Brain | Axial view
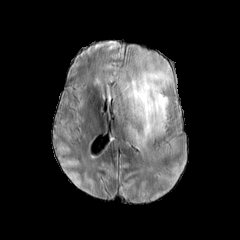
FLAIR MR image.
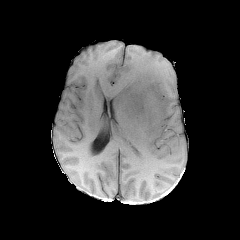
T1-weighted MR.
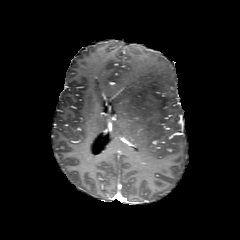
Same slice, post-contrast T1-weighted MR.
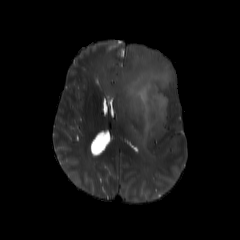
Same slice, T2-weighted MR.
<segmentation>
  <peritumoral_edema>bbox(116, 63, 173, 144)</peritumoral_edema>
</segmentation>